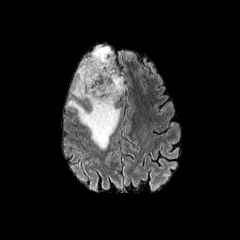
FLAIR magnetic resonance.
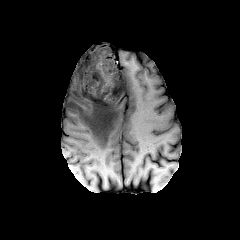
T1-weighted MR of the same slice.
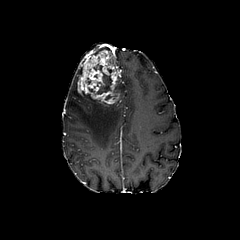
Post-contrast T1-weighted MRI of the same slice.
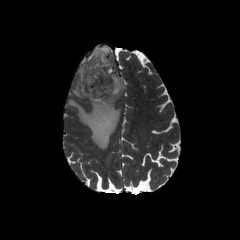
T2-weighted MR of the same slice.
Brain
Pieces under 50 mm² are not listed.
necrotic tumor core — bbox(97, 73, 112, 93)
enhancing tumor — bbox(77, 49, 120, 105)
peritumoral edema — bbox(119, 76, 126, 96); bbox(67, 45, 120, 149)